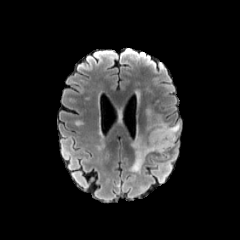
FLAIR magnetic resonance.
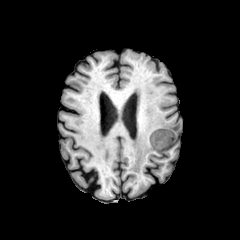
T1-weighted MRI.
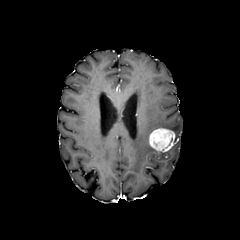
Same slice, post-contrast T1-weighted MR image.
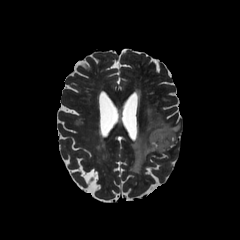
Same slice, T2-weighted magnetic resonance.
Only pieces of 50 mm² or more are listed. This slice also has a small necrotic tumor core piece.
peritumoral edema = box(129, 99, 180, 172)
enhancing tumor = box(149, 128, 175, 152)